FLAIR MR.
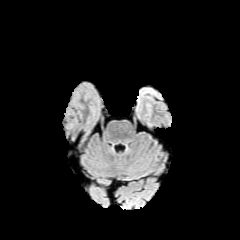
T1-weighted magnetic resonance.
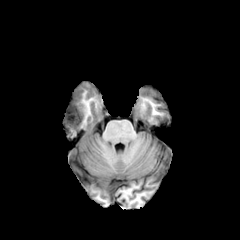
Post-contrast T1-weighted MRI.
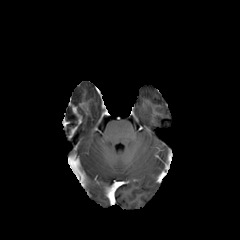
T2-weighted MR image.
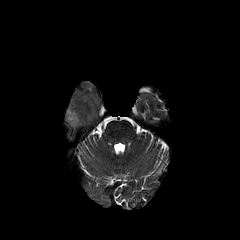
240x240.
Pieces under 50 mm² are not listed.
enhancing tumor at 63:101:86:139
necrotic tumor core at 77:107:84:115, 65:106:77:135
peritumoral edema at 71:92:86:105